FLAIR MR.
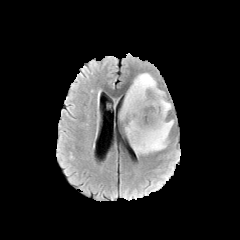
T1-weighted magnetic resonance.
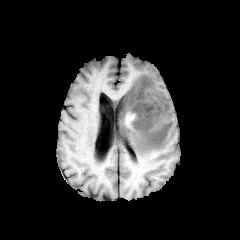
Post-contrast T1-weighted MR image.
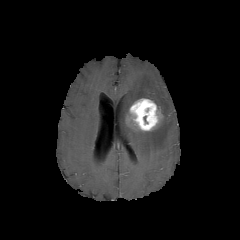
T2-weighted MR.
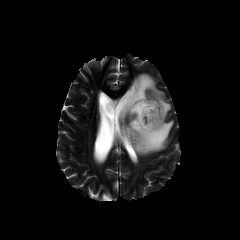
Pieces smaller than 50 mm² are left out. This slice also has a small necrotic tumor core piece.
peritumoral edema = rect(119, 73, 174, 155)
enhancing tumor = rect(129, 98, 163, 131)